FLAIR MR.
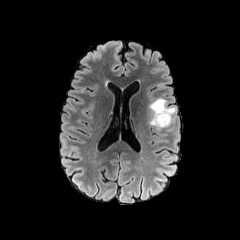
T1-weighted MR.
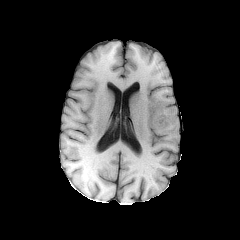
Post-contrast T1-weighted MR image.
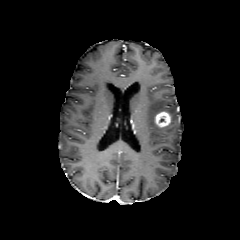
T2-weighted MRI.
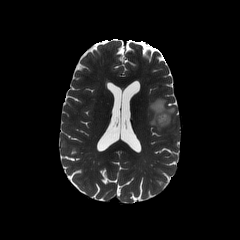
Axial slice
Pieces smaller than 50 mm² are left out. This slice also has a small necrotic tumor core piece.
The peritumoral edema is at bbox(148, 98, 176, 130). The enhancing tumor is bounded by bbox(155, 111, 170, 127).